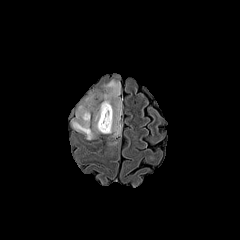
FLAIR magnetic resonance.
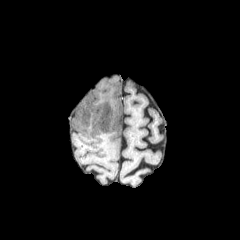
T1-weighted MR.
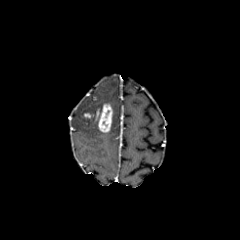
Post-contrast T1-weighted MR.
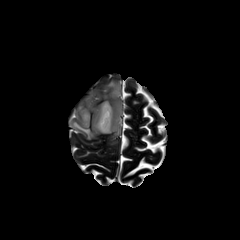
T2-weighted MR image.
Axial slice. Head.
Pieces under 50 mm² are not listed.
enhancing tumor: 95,103,112,132 | peritumoral edema: 71,80,121,139